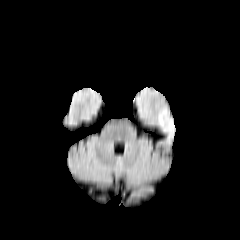
FLAIR magnetic resonance.
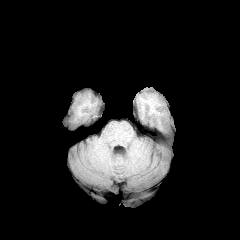
T1-weighted MR.
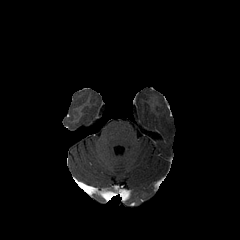
Post-contrast T1-weighted MR.
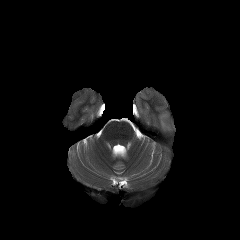
T2-weighted MR image.
Axial view
peritumoral_edema:
  - 159 112 173 131